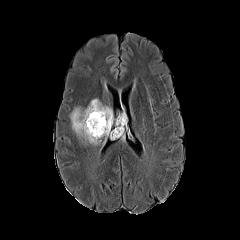
FLAIR MR image.
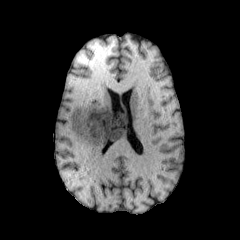
Same slice, T1-weighted MR.
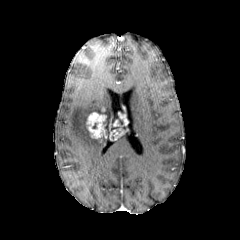
Post-contrast T1-weighted magnetic resonance.
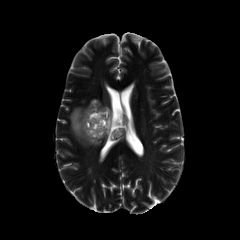
T2-weighted MR of the same slice.
Head
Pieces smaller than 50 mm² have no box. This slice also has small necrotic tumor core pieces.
enhancing tumor: 109 109 127 139, 86 112 107 138 | peritumoral edema: 70 99 112 145